FLAIR magnetic resonance.
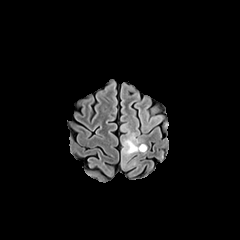
T1-weighted MR image.
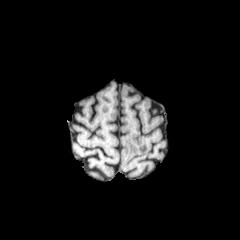
Post-contrast T1-weighted magnetic resonance.
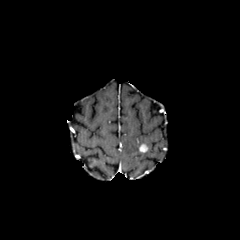
T2-weighted magnetic resonance.
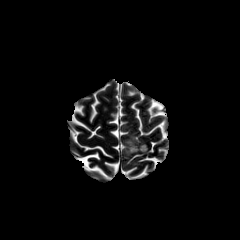
Axial plane. Brain.
Segmented structures:
• peritumoral edema: 121:125:139:166
• enhancing tumor: 139:144:147:152